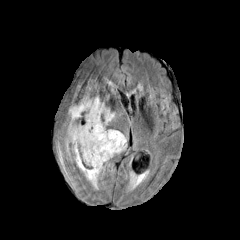
FLAIR MR.
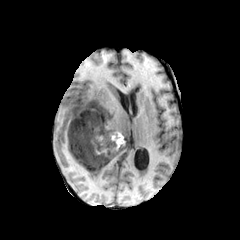
T1-weighted MR of the same slice.
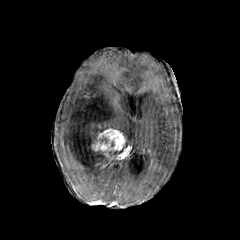
Post-contrast T1-weighted MR.
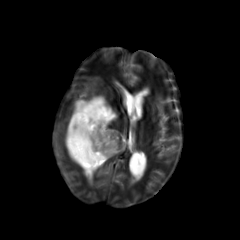
T2-weighted MR image.
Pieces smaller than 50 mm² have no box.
The largest necrotic tumor core region is at l=96, t=151, r=106, b=162. The largest peritumoral edema region is at l=64, t=96, r=116, b=187. The largest enhancing tumor region appears at l=91, t=128, r=125, b=159.